FLAIR MR image.
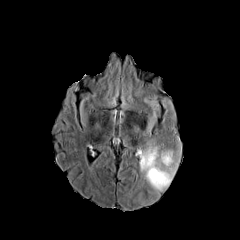
T1-weighted magnetic resonance.
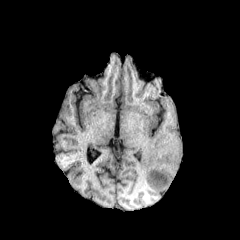
Post-contrast T1-weighted magnetic resonance.
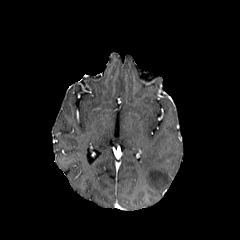
T2-weighted MR.
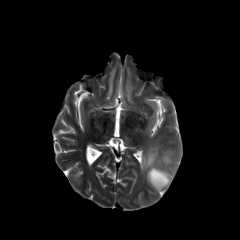
Axial view; 240x240
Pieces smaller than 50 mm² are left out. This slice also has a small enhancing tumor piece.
peritumoral edema: x1=138 y1=143 x2=181 y2=191